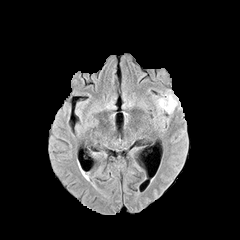
FLAIR magnetic resonance.
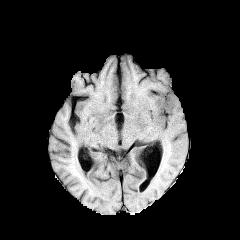
Same slice, T1-weighted MRI.
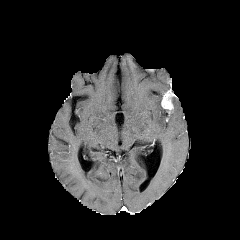
Post-contrast T1-weighted MR.
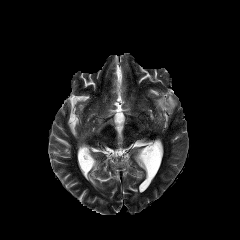
T2-weighted MR image.
Head; Axial plane; 240x240
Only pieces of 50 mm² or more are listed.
Findings:
* peritumoral edema: (left=157, top=95, right=164, bottom=110)
* enhancing tumor: (left=161, top=89, right=175, bottom=112)